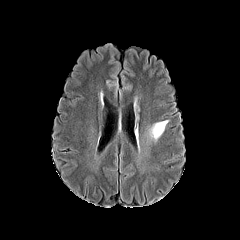
FLAIR MRI.
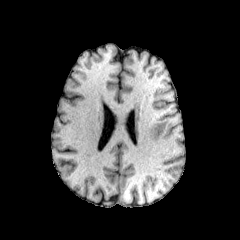
T1-weighted MR.
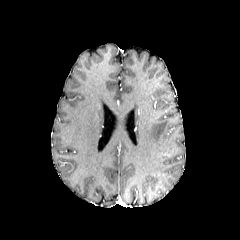
Post-contrast T1-weighted MR.
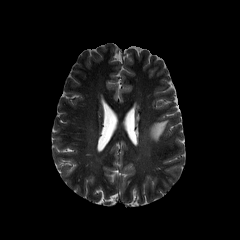
Same slice, T2-weighted MR.
Head, Axial slice, 240x240 px
peritumoral edema — (147,120,168,141)